240x240 | Axial slice
FLAIR MR image.
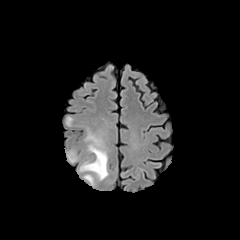
T1-weighted magnetic resonance.
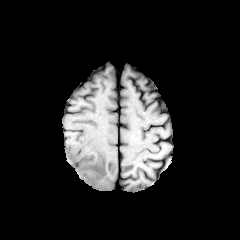
Post-contrast T1-weighted magnetic resonance.
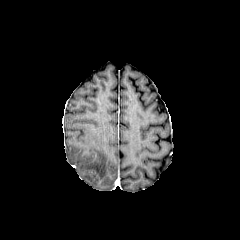
T2-weighted MR image.
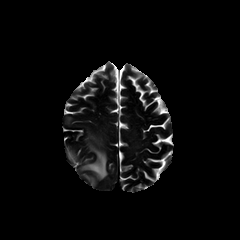
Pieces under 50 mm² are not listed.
<segmentation>
  <peritumoral_edema>left=67, top=150, right=76, bottom=162; left=85, top=175, right=95, bottom=186; left=79, top=133, right=108, bottom=180</peritumoral_edema>
</segmentation>